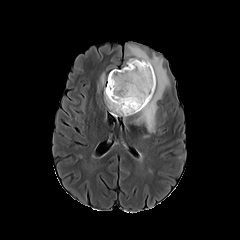
FLAIR MRI.
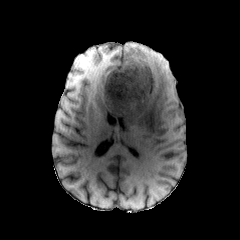
Same slice, T1-weighted MRI.
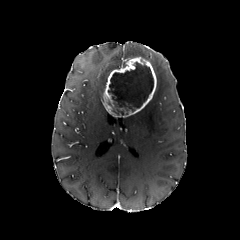
Post-contrast T1-weighted MRI.
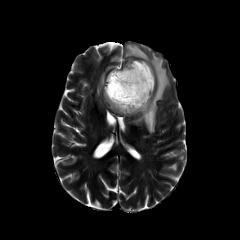
Same slice, T2-weighted magnetic resonance.
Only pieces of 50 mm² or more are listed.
<segmentation>
  <necrotic_tumor_core>x1=108 y1=62 x2=153 y2=115</necrotic_tumor_core>
  <peritumoral_edema>x1=130 y1=47 x2=169 y2=133, x1=100 y1=73 x2=104 y2=85</peritumoral_edema>
  <enhancing_tumor>x1=103 y1=57 x2=156 y2=117</enhancing_tumor>
</segmentation>